Head. 240x240. Slice index 78.
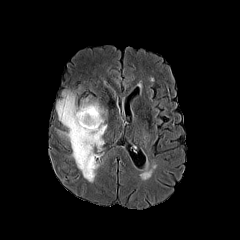
FLAIR MR image.
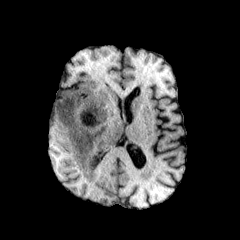
T1-weighted magnetic resonance of the same slice.
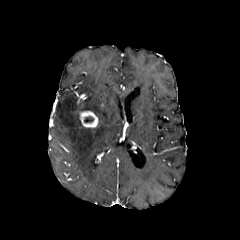
Post-contrast T1-weighted MR image.
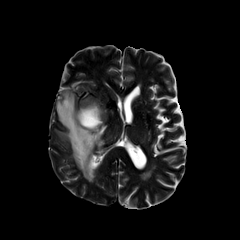
T2-weighted magnetic resonance.
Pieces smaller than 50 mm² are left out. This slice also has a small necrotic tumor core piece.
enhancing tumor at [79, 110, 98, 128]
peritumoral edema at [56, 91, 106, 182]